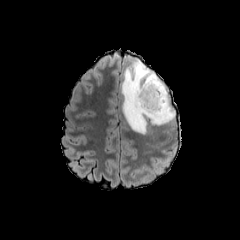
FLAIR MR.
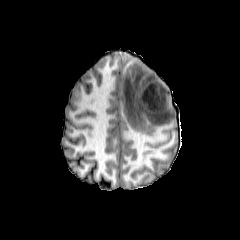
T1-weighted MR image.
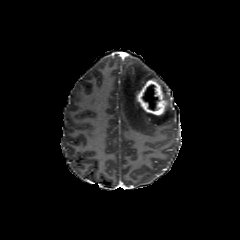
Post-contrast T1-weighted MR.
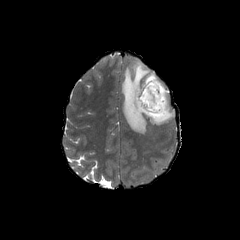
Same slice, T2-weighted magnetic resonance.
Axial slice.
The peritumoral edema lies within {"x1": 121, "y1": 59, "x2": 175, "y2": 134}. The necrotic tumor core is located at {"x1": 142, "y1": 84, "x2": 159, "y2": 110}. The enhancing tumor is at {"x1": 136, "y1": 78, "x2": 167, "y2": 116}.